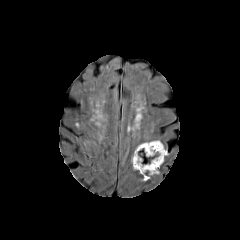
FLAIR MR.
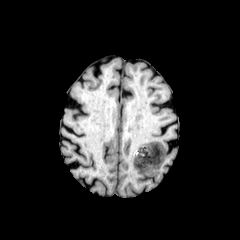
T1-weighted MRI.
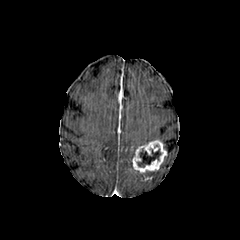
Post-contrast T1-weighted MR image of the same slice.
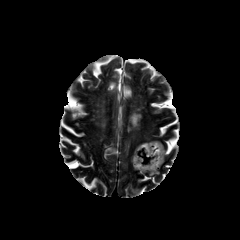
T2-weighted magnetic resonance.
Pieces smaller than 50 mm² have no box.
peritumoral edema — [142,170,159,180]
necrotic tumor core — [138,149,160,166]
enhancing tumor — [132,140,167,173]